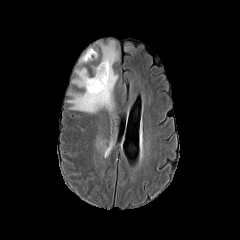
FLAIR MR.
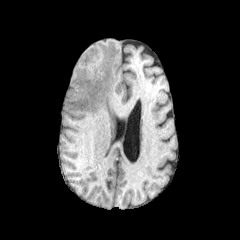
Same slice, T1-weighted MR.
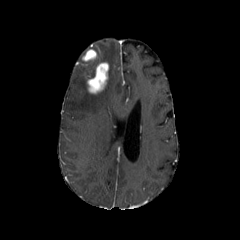
Post-contrast T1-weighted MRI.
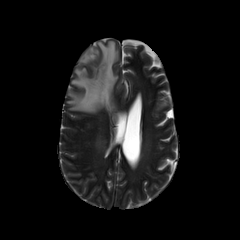
T2-weighted MR of the same slice.
Brain.
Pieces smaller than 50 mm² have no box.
peritumoral edema: {"x1": 67, "y1": 41, "x2": 118, "y2": 112} | enhancing tumor: {"x1": 86, "y1": 62, "x2": 108, "y2": 93}, {"x1": 82, "y1": 49, "x2": 96, "y2": 61}